Image covers 240 mm x 240 mm; 240x240
FLAIR magnetic resonance.
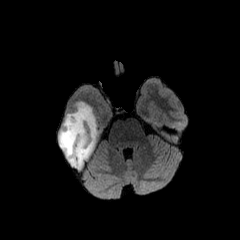
T1-weighted magnetic resonance.
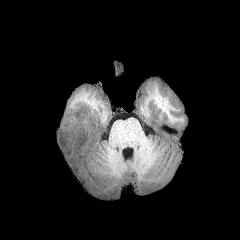
Post-contrast T1-weighted magnetic resonance.
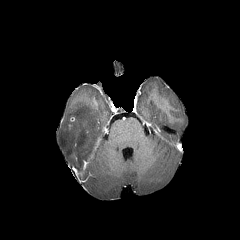
T2-weighted MRI.
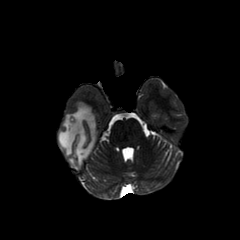
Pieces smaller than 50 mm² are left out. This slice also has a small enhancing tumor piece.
- peritumoral edema: bbox=[58, 102, 97, 167]